240x240 px, Head, Axial view
FLAIR magnetic resonance.
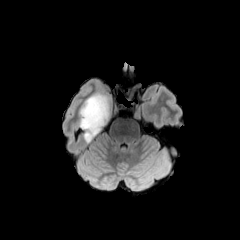
T1-weighted magnetic resonance.
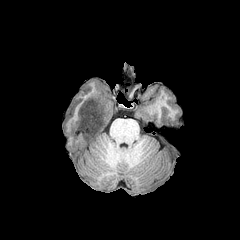
Post-contrast T1-weighted MR image.
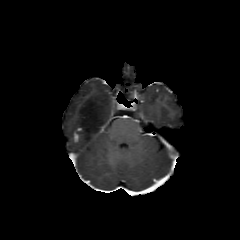
T2-weighted magnetic resonance.
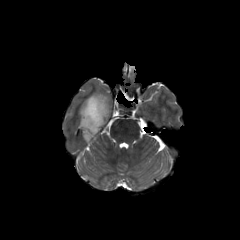
<segmentation>
  <peritumoral_edema>bbox=[79, 92, 113, 142]</peritumoral_edema>
</segmentation>